240x240 px | Image width 240 mm, 1.00 mm slice spacing | Slice 106 of 155 | Axial slice
FLAIR magnetic resonance.
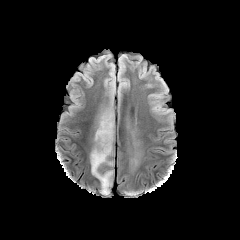
T1-weighted MR image.
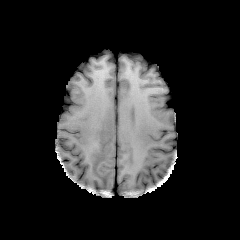
Post-contrast T1-weighted MR.
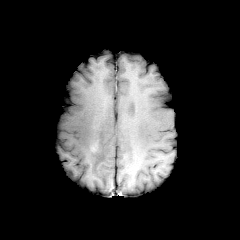
T2-weighted MR.
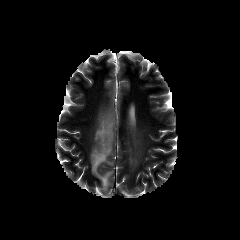
The peritumoral edema lies within box=[90, 114, 113, 192].